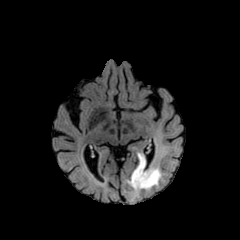
FLAIR MR.
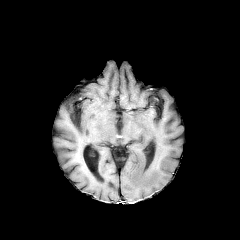
T1-weighted MRI.
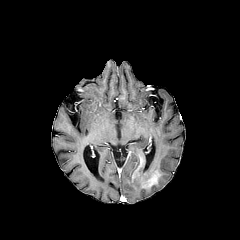
Same slice, post-contrast T1-weighted MRI.
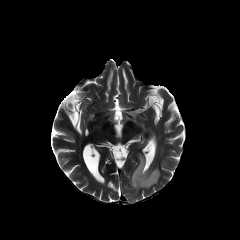
T2-weighted magnetic resonance of the same slice.
Axial view.
The enhancing tumor appears at 132:157:159:187. The peritumoral edema is bounded by 128:153:161:195.